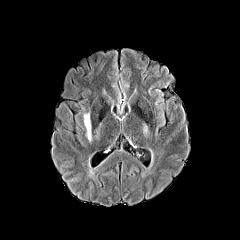
FLAIR MR image.
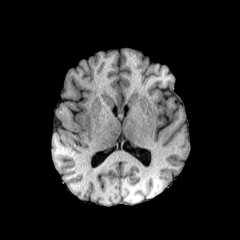
T1-weighted MR.
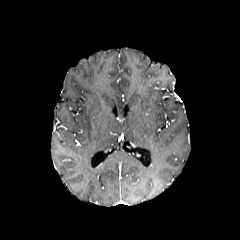
Post-contrast T1-weighted MRI.
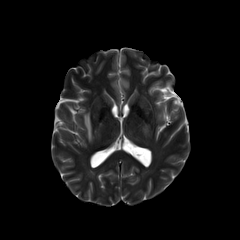
T2-weighted MR image.
Head. 240x240 px.
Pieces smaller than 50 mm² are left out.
{
  "peritumoral_edema": [
    "83:113:91:141"
  ]
}